FLAIR MRI.
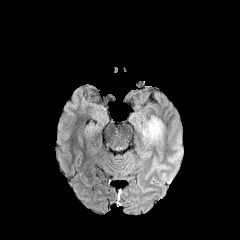
T1-weighted magnetic resonance.
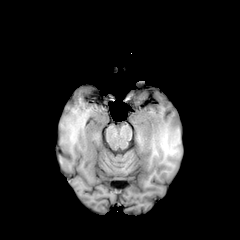
Post-contrast T1-weighted MR image.
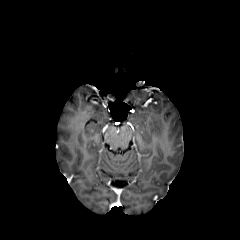
T2-weighted MR.
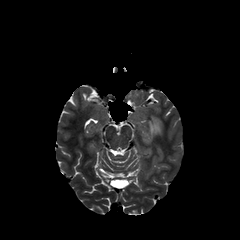
Image size 240x240
peritumoral edema = x1=144 y1=117 x2=162 y2=139